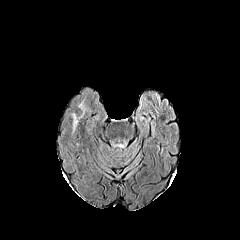
FLAIR magnetic resonance.
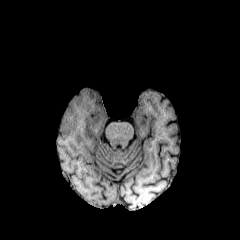
T1-weighted MR.
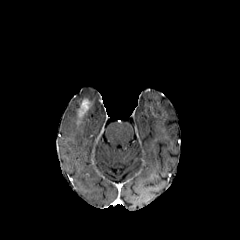
Post-contrast T1-weighted MRI.
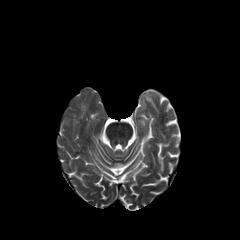
T2-weighted magnetic resonance.
Brain, Axial view
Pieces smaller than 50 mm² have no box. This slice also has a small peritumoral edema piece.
enhancing tumor: bounding box [77, 99, 91, 124]